Slice index 84.
FLAIR MRI.
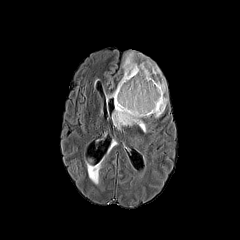
T1-weighted MR image.
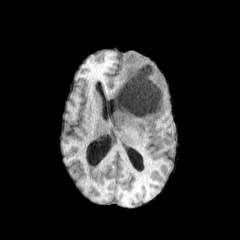
Post-contrast T1-weighted MR image.
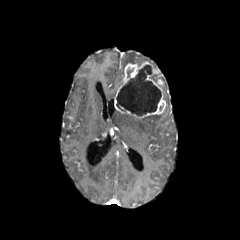
T2-weighted MR.
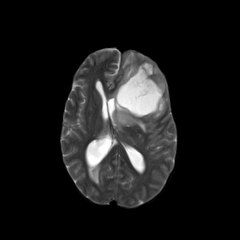
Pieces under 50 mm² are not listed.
The 4 largest peritumoral edema regions are bounded by 107, 78, 122, 97; 122, 52, 135, 68; 86, 164, 101, 183; 112, 110, 146, 132. The largest enhancing tumor region appears at 114, 61, 166, 118. The largest necrotic tumor core region is bounded by 116, 65, 161, 115.